Head | Axial slice | Slice index 34 | Image width 240 mm
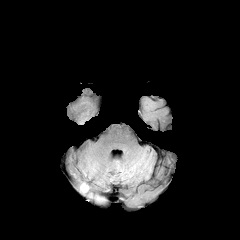
FLAIR MR image.
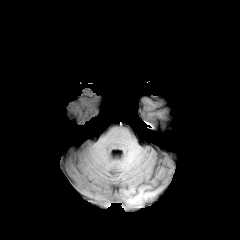
T1-weighted MR of the same slice.
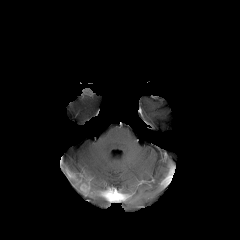
Post-contrast T1-weighted MR of the same slice.
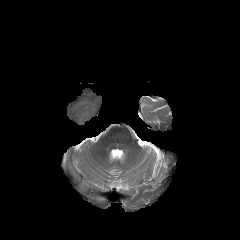
Same slice, T2-weighted magnetic resonance.
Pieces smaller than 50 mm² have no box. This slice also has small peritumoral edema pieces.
The enhancing tumor lies within 79 182 89 192.